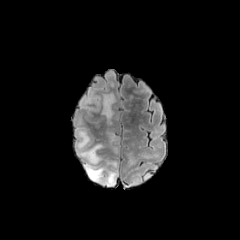
FLAIR MR.
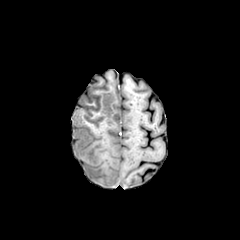
T1-weighted MR of the same slice.
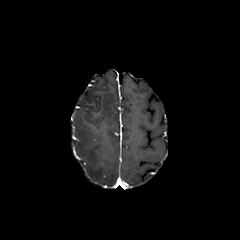
Post-contrast T1-weighted MR of the same slice.
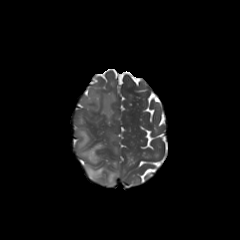
T2-weighted MRI.
Head; Axial view; Image size 240x240
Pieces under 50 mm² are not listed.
{"peritumoral_edema": ["left=102, top=93, right=114, bottom=119", "left=76, top=127, right=118, bottom=186"]}